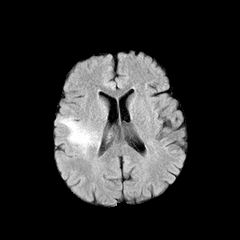
FLAIR MR.
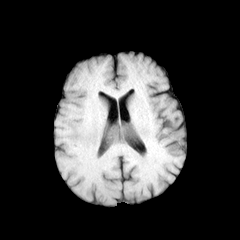
T1-weighted MRI.
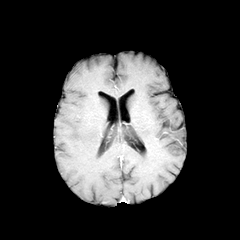
Post-contrast T1-weighted MRI.
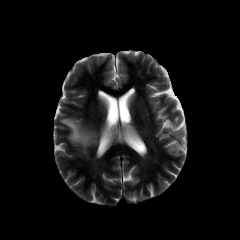
T2-weighted MR image.
Axial view
peritumoral edema: 60,117,99,153